Image size 240x240. Head. Slice index 83.
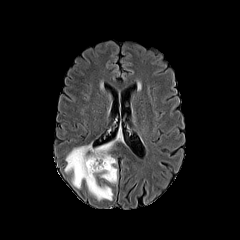
FLAIR MR.
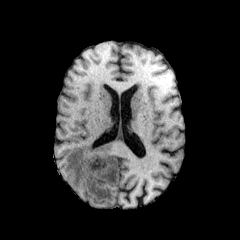
T1-weighted magnetic resonance of the same slice.
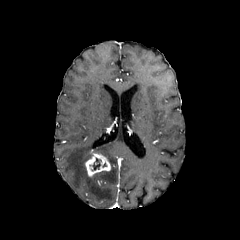
Post-contrast T1-weighted MR image.
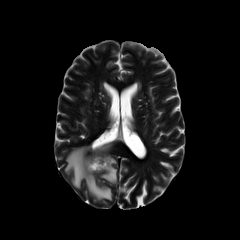
T2-weighted MRI.
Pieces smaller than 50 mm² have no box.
<segmentation>
  <peritumoral_edema>box(64, 140, 118, 200)</peritumoral_edema>
  <necrotic_tumor_core>box(92, 158, 101, 170)</necrotic_tumor_core>
  <enhancing_tumor>box(85, 153, 110, 176)</enhancing_tumor>
</segmentation>